Head.
FLAIR MR.
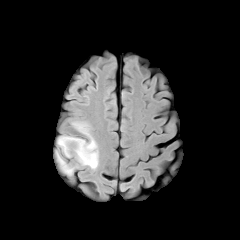
T1-weighted MR image.
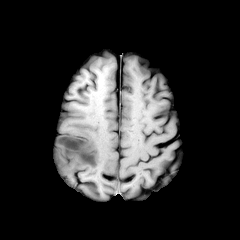
Post-contrast T1-weighted MRI.
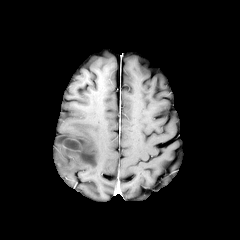
T2-weighted magnetic resonance.
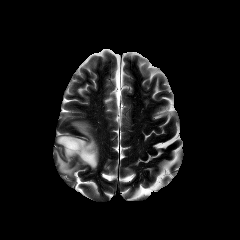
peritumoral edema: (55, 122, 98, 175) | enhancing tumor: (63, 138, 81, 157) | necrotic tumor core: (64, 139, 80, 150)